240x240; Brain; Slice 83 of 155
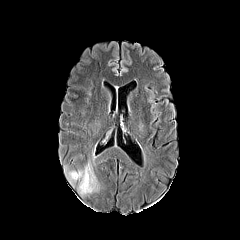
FLAIR MR image.
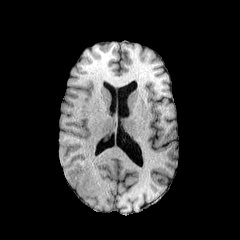
T1-weighted MR image.
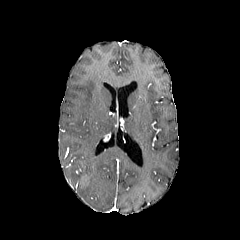
Post-contrast T1-weighted MR.
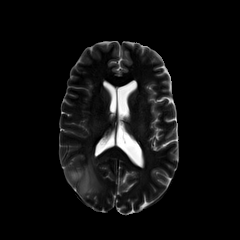
Same slice, T2-weighted MR image.
enhancing tumor: (left=82, top=175, right=87, bottom=185)
peritumoral edema: (left=65, top=162, right=98, bottom=195)